FLAIR MR.
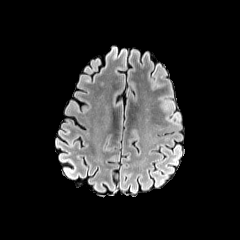
T1-weighted MR.
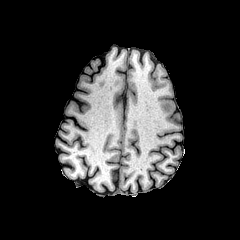
Post-contrast T1-weighted MRI.
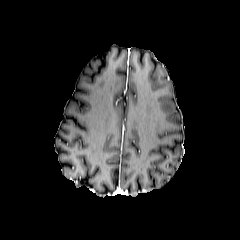
T2-weighted MR image.
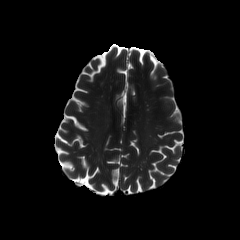
Head; Image size 240x240; Axial plane
peritumoral edema: bounding box x1=159, y1=96, x2=181, y2=123